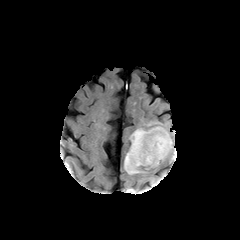
FLAIR MRI.
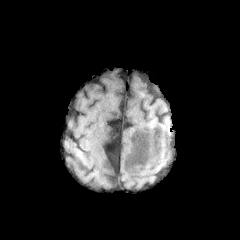
T1-weighted MR image.
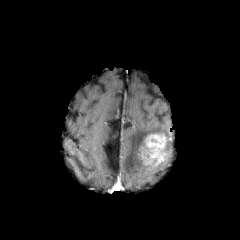
Post-contrast T1-weighted MR image.
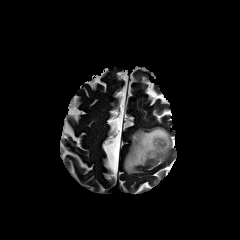
T2-weighted MRI of the same slice.
Axial plane | Brain
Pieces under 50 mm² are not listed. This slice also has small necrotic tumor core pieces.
{
  "enhancing_tumor": [
    "138, 133, 167, 165"
  ],
  "peritumoral_edema": [
    "124, 126, 173, 174"
  ]
}